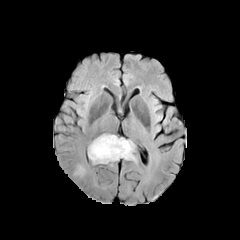
FLAIR MRI.
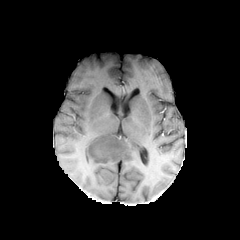
Same slice, T1-weighted MR.
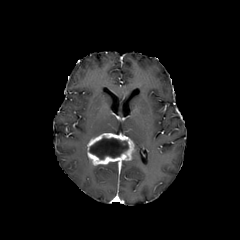
Post-contrast T1-weighted magnetic resonance.
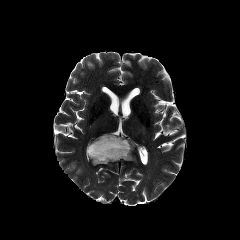
T2-weighted MRI of the same slice.
240x240 px
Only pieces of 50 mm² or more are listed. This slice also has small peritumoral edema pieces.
enhancing tumor — box(87, 133, 134, 165)
necrotic tumor core — box(89, 138, 128, 159)